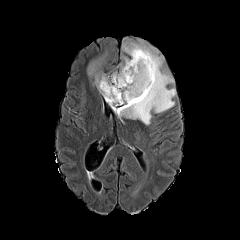
FLAIR MRI.
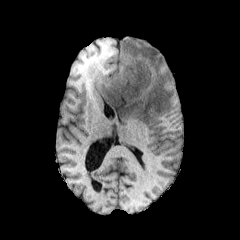
Same slice, T1-weighted MR image.
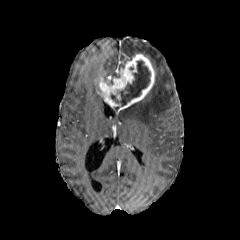
Post-contrast T1-weighted MRI.
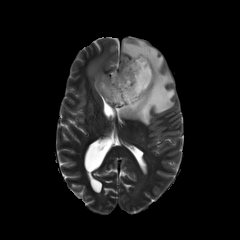
T2-weighted MR.
Axial view
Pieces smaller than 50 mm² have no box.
necrotic tumor core — x1=110, y1=60, x2=150, y2=106
enhancing tumor — x1=98, y1=53, x2=155, y2=113
peritumoral edema — x1=86, y1=48, x2=108, y2=91; x1=115, y1=37, x2=176, y2=125; x1=111, y1=70, x2=119, y2=78